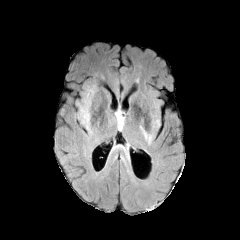
FLAIR MRI.
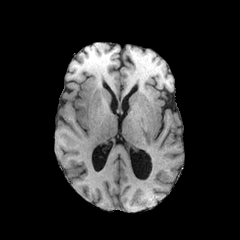
T1-weighted MR image of the same slice.
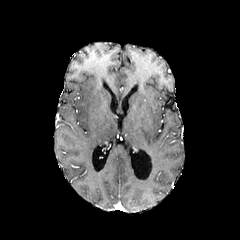
Post-contrast T1-weighted MR.
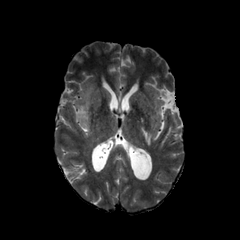
T2-weighted MR image of the same slice.
Brain | Image size 240x240 | Axial slice
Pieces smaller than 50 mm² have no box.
peritumoral edema: bbox=[76, 98, 91, 134]